Axial view
FLAIR MR image.
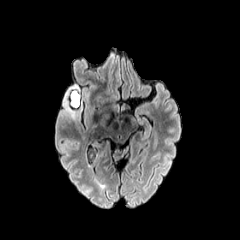
T1-weighted MR image.
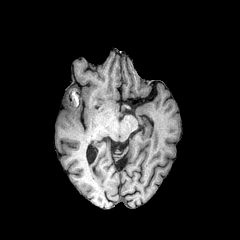
Post-contrast T1-weighted MR.
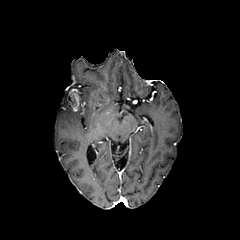
T2-weighted magnetic resonance.
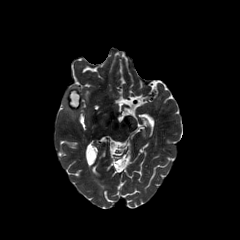
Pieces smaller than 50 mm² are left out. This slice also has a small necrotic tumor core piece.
peritumoral edema: 63,90,74,117 | enhancing tumor: 70,89,79,111